FLAIR MR.
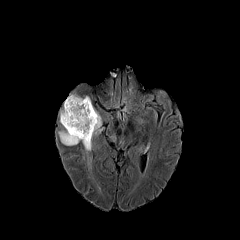
T1-weighted MRI.
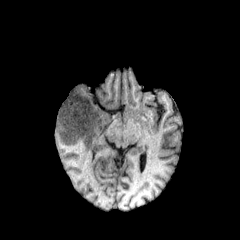
Post-contrast T1-weighted MRI.
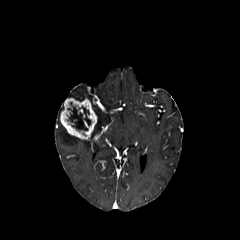
T2-weighted MR image.
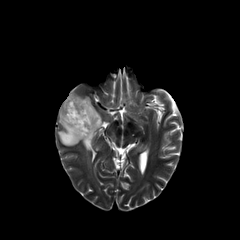
Axial view; 240x240 px
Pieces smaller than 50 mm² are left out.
The largest necrotic tumor core region is located at (left=67, top=106, right=91, bottom=131). The enhancing tumor is bounded by (left=60, top=97, right=97, bottom=140). The 2 largest peritumoral edema regions appear at (left=67, top=94, right=84, bottom=100), (left=58, top=106, right=102, bottom=168).